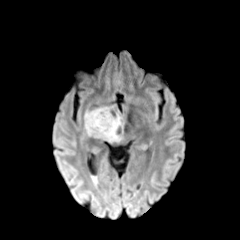
FLAIR MR.
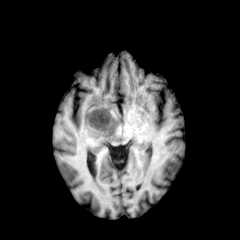
T1-weighted magnetic resonance.
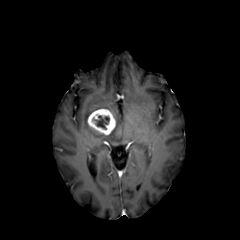
Post-contrast T1-weighted MR image.
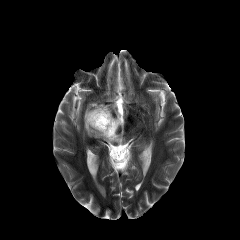
T2-weighted MR image.
Brain, Axial plane, Image size 240x240
{
  "peritumoral_edema": [
    "(84,107,123,142)"
  ],
  "necrotic_tumor_core": [
    "(95,116,109,129)"
  ],
  "enhancing_tumor": [
    "(87,109,115,134)"
  ]
}